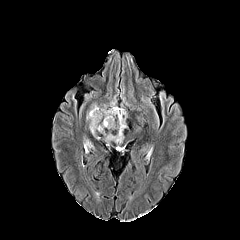
FLAIR magnetic resonance.
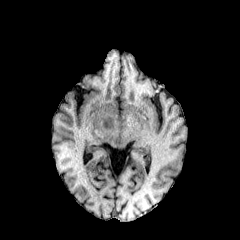
T1-weighted magnetic resonance.
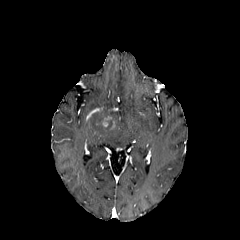
Post-contrast T1-weighted MRI.
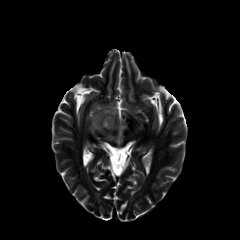
T2-weighted MR.
Head | Axial view
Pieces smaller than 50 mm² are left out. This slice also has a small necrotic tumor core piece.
peritumoral_edema:
  - [86, 100, 126, 143]
enhancing_tumor:
  - [102, 116, 115, 129]